Axial view | Brain
FLAIR magnetic resonance.
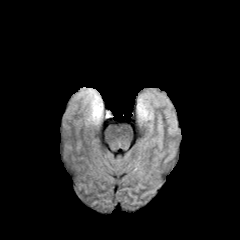
T1-weighted MR.
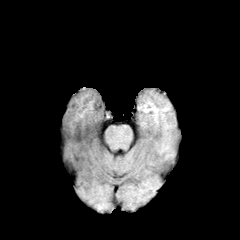
Post-contrast T1-weighted MRI.
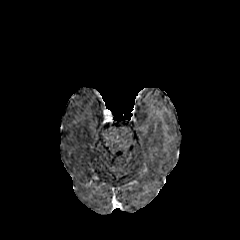
T2-weighted MR image.
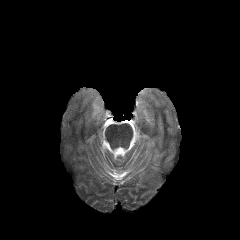
2 peritumoral edema regions are bounded by <box>79,88,103,124</box>, <box>137,99,152,120</box>.